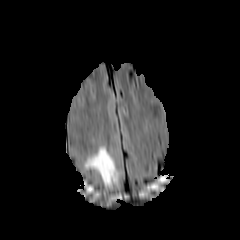
FLAIR MR.
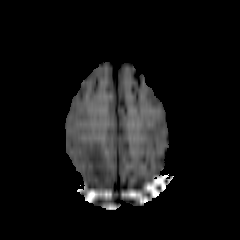
Same slice, T1-weighted magnetic resonance.
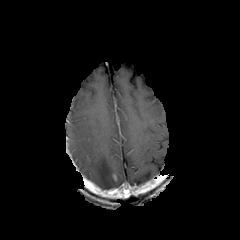
Post-contrast T1-weighted MRI.
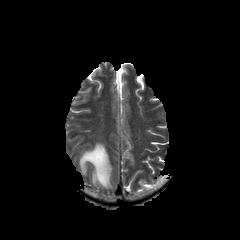
T2-weighted MRI.
240x240 | Brain | Axial plane
The peritumoral edema lies within (83,145,117,188).